Axial slice. Image size 240x240. Slice 102/155. Head.
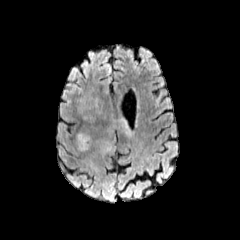
FLAIR MRI.
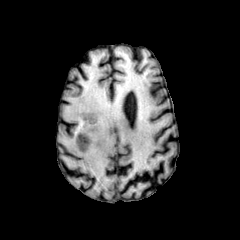
Same slice, T1-weighted MR.
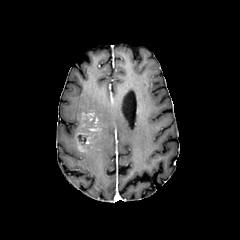
Post-contrast T1-weighted MRI.
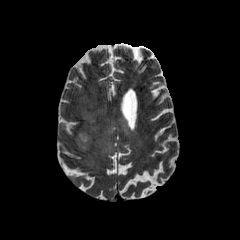
T2-weighted MR.
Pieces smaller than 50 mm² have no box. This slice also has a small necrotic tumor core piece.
{"peritumoral_edema": ["bbox(96, 112, 133, 156)"], "enhancing_tumor": ["bbox(76, 112, 98, 151)"]}